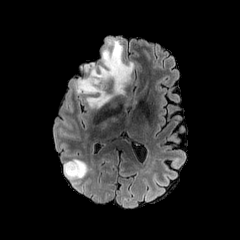
FLAIR magnetic resonance.
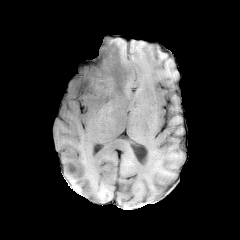
Same slice, T1-weighted magnetic resonance.
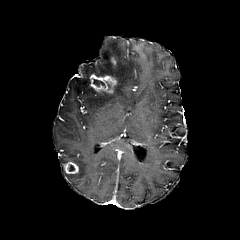
Post-contrast T1-weighted MR image.
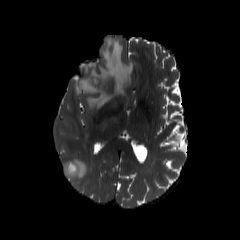
T2-weighted MRI.
Axial plane. Brain.
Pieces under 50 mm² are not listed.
* necrotic tumor core: (93, 79, 104, 86), (67, 164, 75, 171)
* peritumoral edema: (73, 37, 133, 109), (64, 159, 87, 179)
* enhancing tumor: (65, 162, 77, 173), (89, 73, 117, 92)